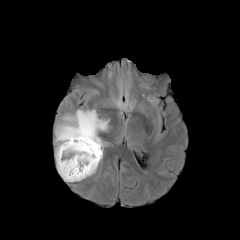
FLAIR MRI.
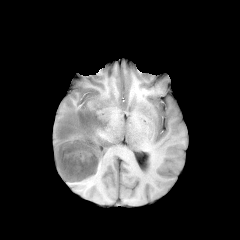
T1-weighted MR image.
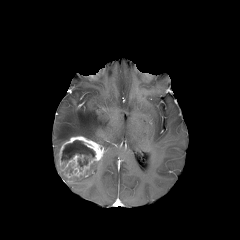
Post-contrast T1-weighted MR.
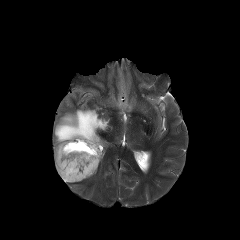
T2-weighted MRI of the same slice.
Axial plane
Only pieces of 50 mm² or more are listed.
The enhancing tumor is at (x1=56, y1=136, x2=103, y2=182). The 2 largest peritumoral edema regions appear at (x1=54, y1=109, x2=109, y2=162), (x1=91, y1=159, x2=101, y2=173). The largest necrotic tumor core region lies within (x1=61, y1=140, x2=95, y2=166).